FLAIR MR.
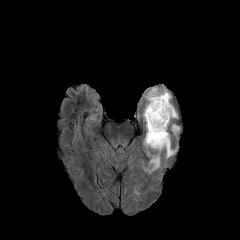
T1-weighted MR image.
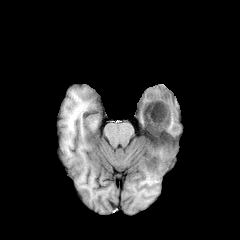
Post-contrast T1-weighted MRI.
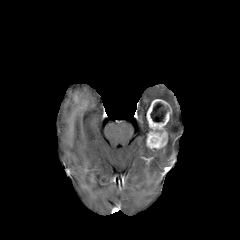
T2-weighted MR.
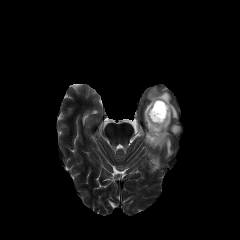
Head
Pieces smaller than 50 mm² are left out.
The necrotic tumor core lies within left=150, top=102, right=168, bottom=122. The enhancing tumor is bounded by left=146, top=99, right=171, bottom=148. The 4 largest peritumoral edema regions are located at left=171, top=124, right=180, bottom=134; left=143, top=86, right=177, bottom=132; left=151, top=132, right=175, bottom=158; left=147, top=151, right=160, bottom=172.